Axial view
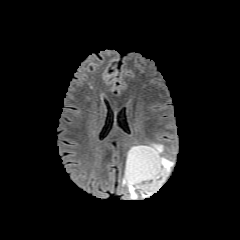
FLAIR MR.
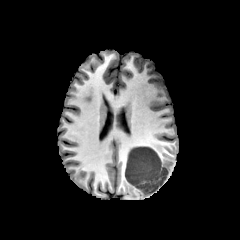
T1-weighted MR image of the same slice.
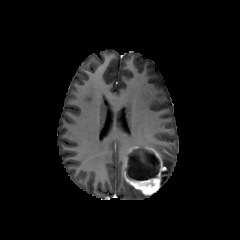
Post-contrast T1-weighted MR.
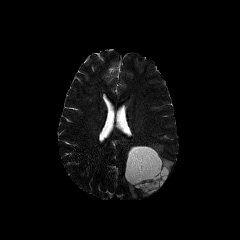
T2-weighted MRI of the same slice.
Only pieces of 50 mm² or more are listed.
necrotic tumor core at 127:148:159:180
enhancing tumor at 124:146:166:195
peritumoral edema at 161:156:173:185, 122:178:137:198, 135:143:163:155